240x240 px
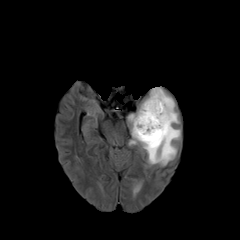
FLAIR magnetic resonance.
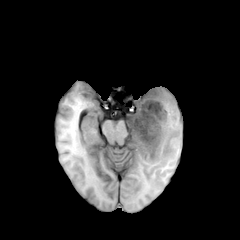
T1-weighted MR image.
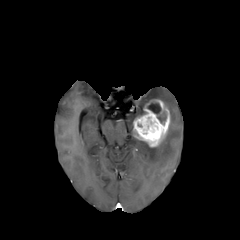
Post-contrast T1-weighted MR.
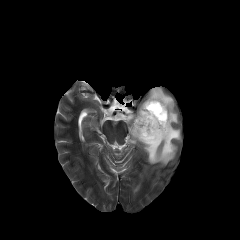
T2-weighted magnetic resonance.
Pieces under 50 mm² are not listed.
enhancing_tumor:
  - <box>132,99,170,147</box>
necrotic_tumor_core:
  - <box>147,103,161,114</box>
  - <box>158,113,166,122</box>
peritumoral_edema:
  - <box>128,87,180,166</box>